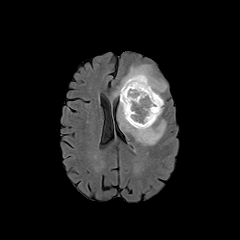
FLAIR MRI.
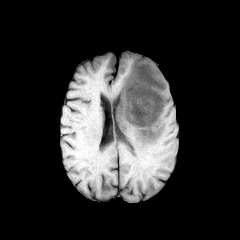
T1-weighted MRI.
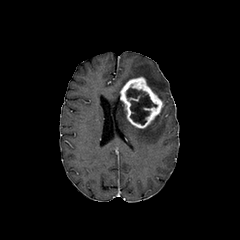
Post-contrast T1-weighted MR of the same slice.
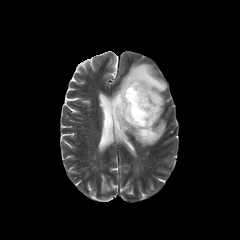
Same slice, T2-weighted MRI.
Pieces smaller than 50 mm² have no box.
{
  "necrotic_tumor_core": [
    "126:88:156:124"
  ],
  "enhancing_tumor": [
    "120:76:163:128"
  ],
  "peritumoral_edema": [
    "109:64:167:102",
    "117:100:165:145"
  ]
}